FLAIR MR.
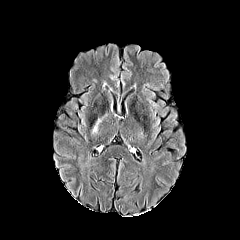
T1-weighted MRI.
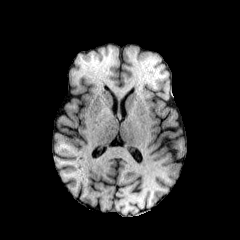
Post-contrast T1-weighted magnetic resonance.
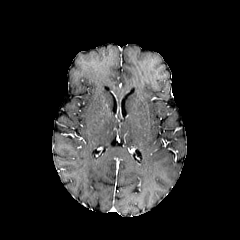
T2-weighted MR image.
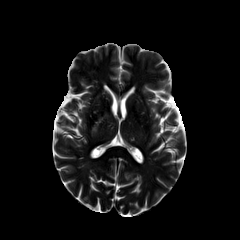
Brain, 240x240
peritumoral edema: <bbox>92, 119, 100, 133</bbox>